Slice index 104; 240x240
FLAIR magnetic resonance.
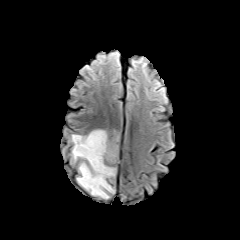
T1-weighted MRI.
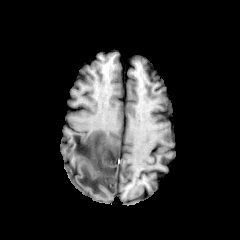
Post-contrast T1-weighted MRI.
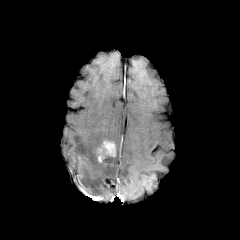
T2-weighted MR image.
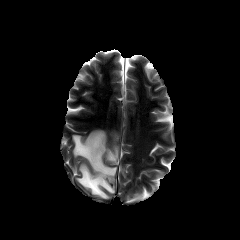
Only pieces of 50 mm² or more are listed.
enhancing_tumor:
  - [x1=97, y1=141, x2=115, y2=162]
peritumoral_edema:
  - [x1=72, y1=130, x2=116, y2=198]